FLAIR MRI.
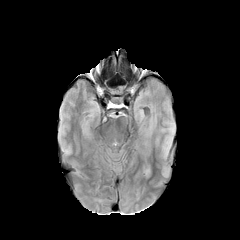
T1-weighted magnetic resonance.
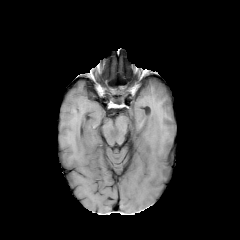
Post-contrast T1-weighted magnetic resonance.
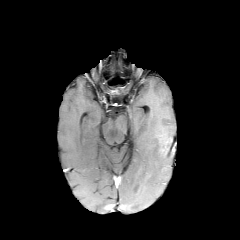
T2-weighted magnetic resonance.
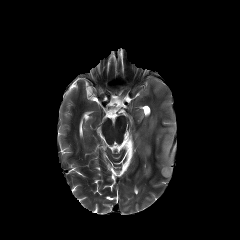
240x240; Axial slice; Brain
2 peritumoral edema regions are bounded by (162,129,172,158), (160,164,170,177).